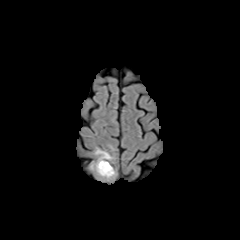
FLAIR magnetic resonance.
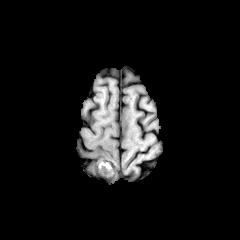
T1-weighted magnetic resonance.
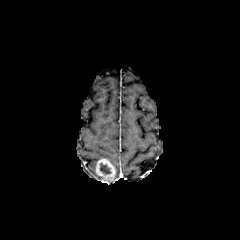
Same slice, post-contrast T1-weighted MR image.
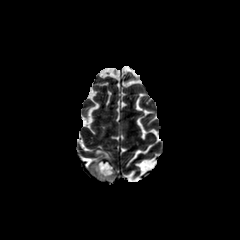
T2-weighted MR.
240x240 px, Axial slice, Brain
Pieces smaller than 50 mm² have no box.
The largest peritumoral edema region is bounded by <bbox>95, 149, 112, 160</bbox>. The enhancing tumor appears at <bbox>96, 159, 115, 180</bbox>. The necrotic tumor core appears at <bbox>100, 163, 111, 174</bbox>.